Head, Image width 240 mm, 1.00 mm slice spacing
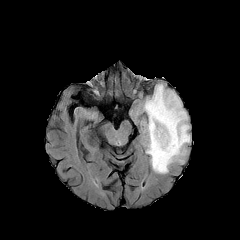
FLAIR MR.
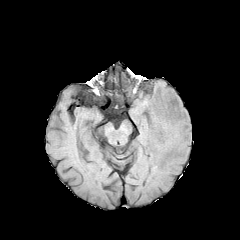
T1-weighted MR of the same slice.
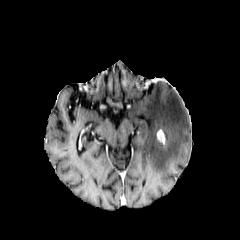
Post-contrast T1-weighted MR image of the same slice.
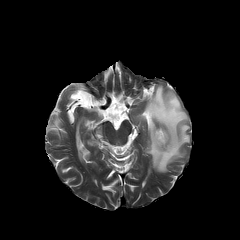
Same slice, T2-weighted MR.
{"peritumoral_edema": ["[143,84,190,173]"], "enhancing_tumor": ["[157,129,165,144]"]}